240x240 | Head
FLAIR MRI.
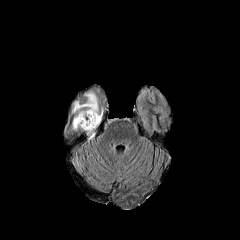
T1-weighted MR image.
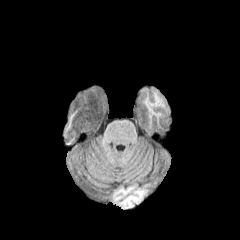
Post-contrast T1-weighted MR image.
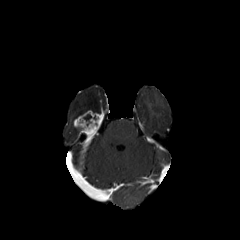
T2-weighted magnetic resonance.
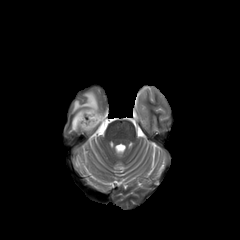
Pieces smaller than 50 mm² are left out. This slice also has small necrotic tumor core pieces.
{
  "peritumoral_edema": [
    {"x1": 72, "y1": 91, "x2": 98, "y2": 119}
  ],
  "enhancing_tumor": [
    {"x1": 73, "y1": 110, "x2": 102, "y2": 142}
  ]
}